FLAIR MRI.
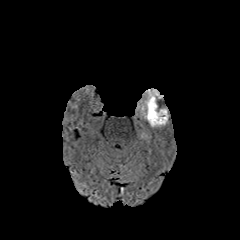
T1-weighted magnetic resonance.
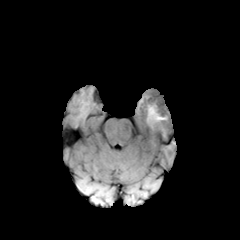
Post-contrast T1-weighted MR.
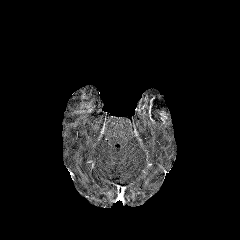
T2-weighted MRI.
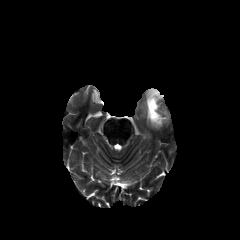
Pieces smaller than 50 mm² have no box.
enhancing tumor — box(158, 110, 167, 125); box(147, 96, 155, 123)
necrotic tumor core — box(151, 96, 164, 122)
peritumoral edema — box(137, 88, 169, 127)